Image width 240 mm, 1.00 mm slice spacing | Slice 50/155 | Axial view | 240x240 px
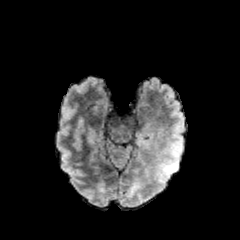
FLAIR MRI.
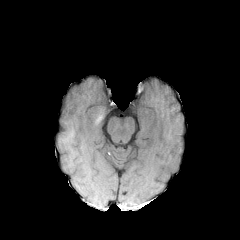
Same slice, T1-weighted MR.
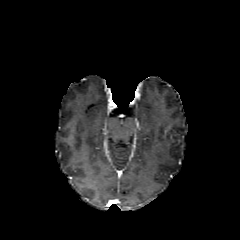
Post-contrast T1-weighted MRI of the same slice.
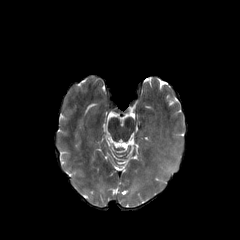
Same slice, T2-weighted MR.
peritumoral edema: bounding box (left=157, top=141, right=183, bottom=182)